Axial plane | Head
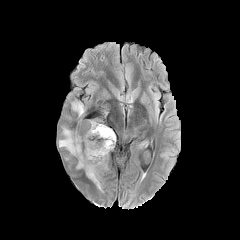
FLAIR MR.
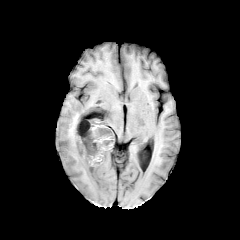
T1-weighted magnetic resonance of the same slice.
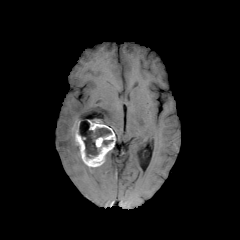
Same slice, post-contrast T1-weighted MR.
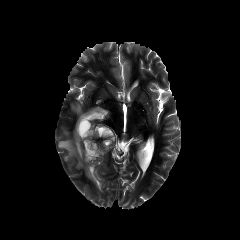
T2-weighted magnetic resonance of the same slice.
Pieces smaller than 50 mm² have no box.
enhancing tumor: bounding box {"x1": 73, "y1": 119, "x2": 115, "y2": 172}
necrotic tumor core: bounding box {"x1": 79, "y1": 121, "x2": 111, "y2": 157}
peritumoral edema: bounding box {"x1": 58, "y1": 127, "x2": 103, "y2": 192}, {"x1": 72, "y1": 102, "x2": 84, "y2": 119}